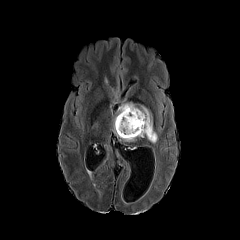
FLAIR MR.
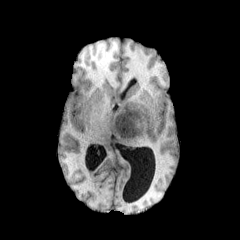
T1-weighted MRI.
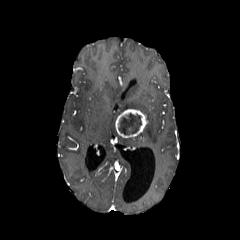
Post-contrast T1-weighted MR of the same slice.
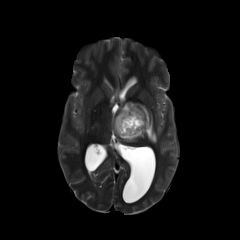
T2-weighted MR.
240x240; Brain
necrotic tumor core at [118, 113, 141, 134]
peritumoral edema at [113, 102, 157, 143]
enhancing tumor at [115, 109, 148, 138]